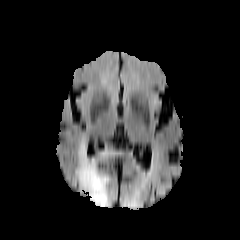
FLAIR MR image.
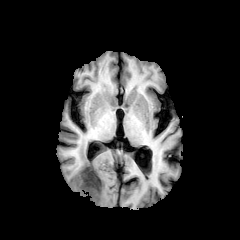
T1-weighted MR.
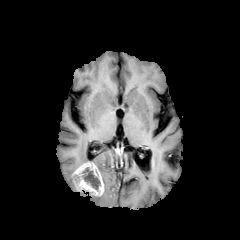
Post-contrast T1-weighted MR image.
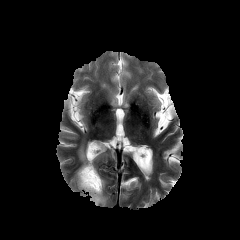
Same slice, T2-weighted MR image.
Axial plane.
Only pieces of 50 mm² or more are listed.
{
  "necrotic_tumor_core": [
    "box(82, 168, 100, 190)"
  ],
  "enhancing_tumor": [
    "box(74, 161, 104, 196)"
  ],
  "peritumoral_edema": [
    "box(78, 139, 88, 166)",
    "box(89, 172, 113, 206)"
  ]
}